FLAIR MRI.
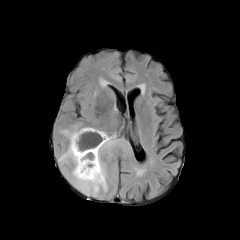
T1-weighted MR.
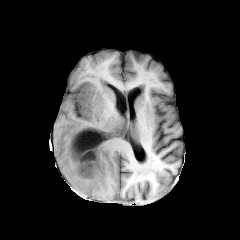
Post-contrast T1-weighted MR image.
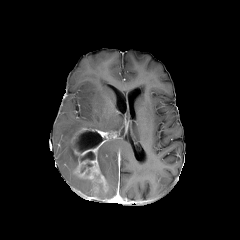
T2-weighted MR.
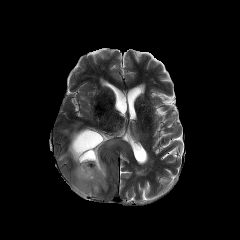
Axial plane
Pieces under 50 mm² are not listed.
enhancing tumor = x1=71 y1=128 x2=108 y2=192
necrotic tumor core = x1=80 y1=151 x2=95 y2=161, x1=73 y1=130 x2=104 y2=152
peritumoral edema = x1=98 y1=138 x2=118 y2=178, x1=59 y1=126 x2=102 y2=196